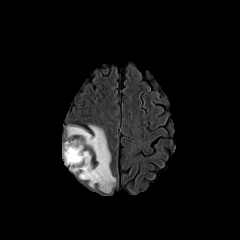
FLAIR MR image.
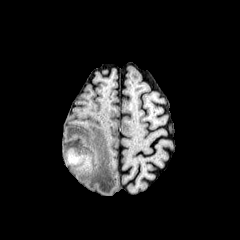
Same slice, T1-weighted MR.
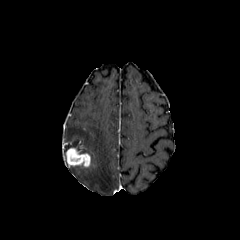
Post-contrast T1-weighted magnetic resonance.
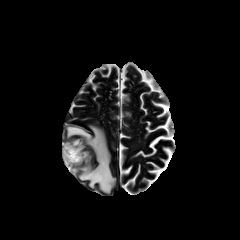
T2-weighted magnetic resonance.
Axial plane | 240x240 px | Head
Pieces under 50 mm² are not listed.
The largest peritumoral edema region appears at 63, 125, 116, 193. The largest enhancing tumor region is bounded by 64, 146, 90, 167.